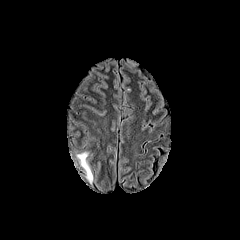
FLAIR MR.
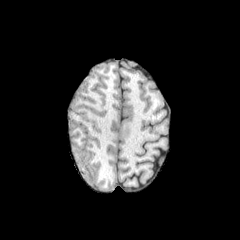
T1-weighted magnetic resonance.
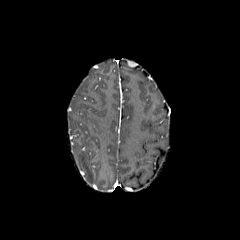
Post-contrast T1-weighted MRI.
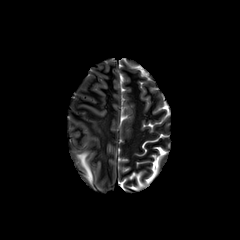
T2-weighted MRI of the same slice.
Brain
The peritumoral edema lies within box=[77, 152, 92, 181].